FLAIR MR image.
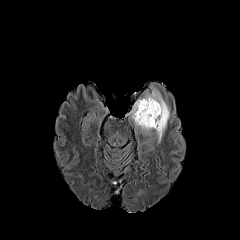
T1-weighted MRI.
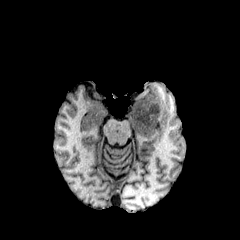
Post-contrast T1-weighted MR image.
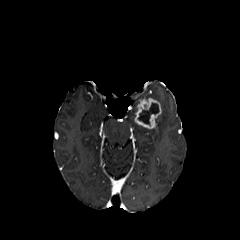
T2-weighted MR image.
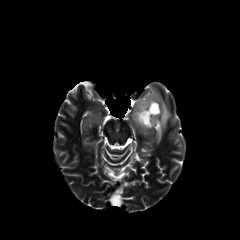
Image size 240x240; Axial slice; Brain
peritumoral edema: <box>128,85,170,143</box> | necrotic tumor core: <box>138,103,159,124</box> | enhancing tumor: <box>134,98,161,129</box>